Head | Axial view | Image size 240x240
FLAIR MR.
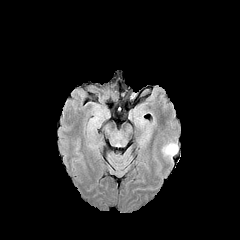
T1-weighted MR.
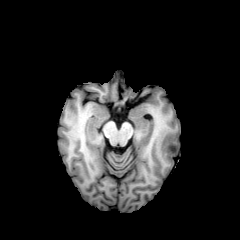
Post-contrast T1-weighted magnetic resonance.
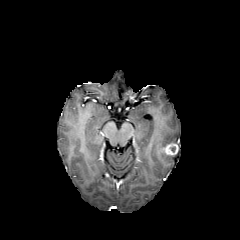
T2-weighted magnetic resonance.
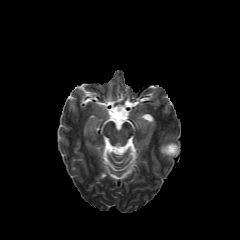
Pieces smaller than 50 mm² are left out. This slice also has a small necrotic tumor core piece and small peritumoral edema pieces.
Segmented structures:
• enhancing tumor: bbox=[162, 143, 178, 155]